FLAIR MR image.
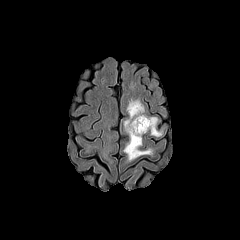
T1-weighted magnetic resonance.
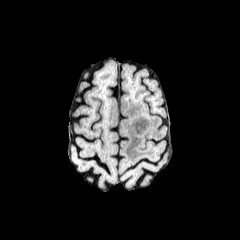
Post-contrast T1-weighted MRI.
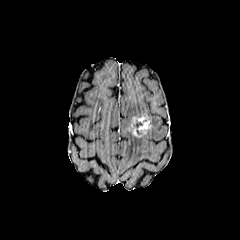
T2-weighted MR.
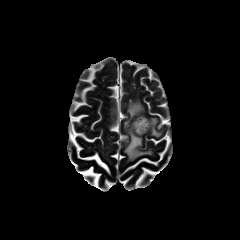
Axial view
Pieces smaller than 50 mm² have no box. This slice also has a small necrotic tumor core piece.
enhancing tumor = bbox=[128, 116, 151, 137]
peritumoral edema = bbox=[124, 99, 152, 160]; bbox=[149, 117, 161, 136]